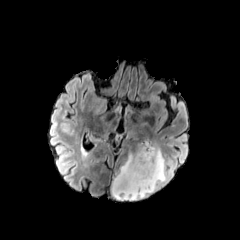
FLAIR MR.
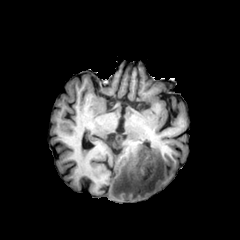
T1-weighted MR.
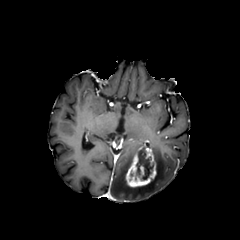
Same slice, post-contrast T1-weighted MR image.
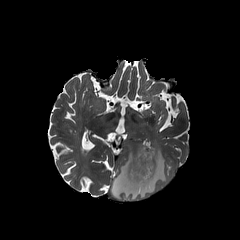
T2-weighted magnetic resonance.
enhancing tumor = 125,146,156,187
necrotic tumor core = 129,148,153,182
peritumoral edema = 111,142,167,200